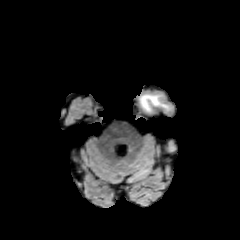
FLAIR MR image.
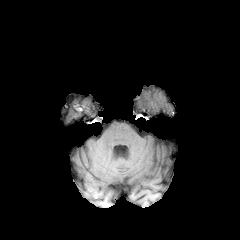
T1-weighted MR image.
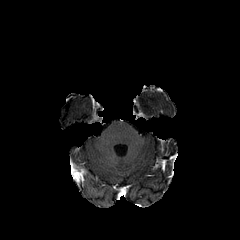
Post-contrast T1-weighted MRI of the same slice.
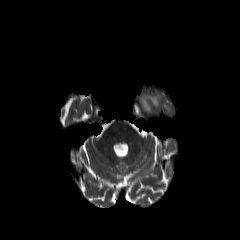
T2-weighted MR image of the same slice.
Findings:
- peritumoral edema: (x1=139, y1=93, x2=170, y2=113)